Axial plane; Head; Image covers 240 mm x 240 mm; 240x240 px
FLAIR MR image.
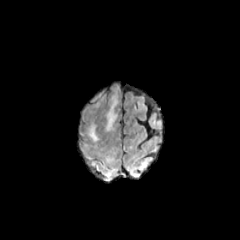
T1-weighted magnetic resonance.
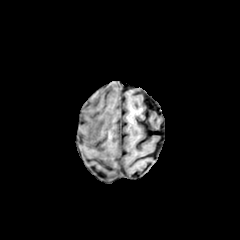
Post-contrast T1-weighted MR.
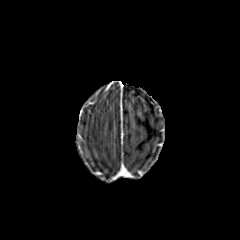
T2-weighted magnetic resonance.
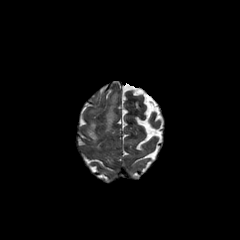
Findings:
- peritumoral edema: (88,124,98,141), (106,96,116,130)